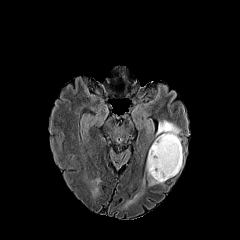
FLAIR MR.
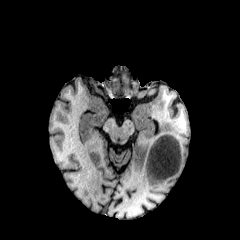
T1-weighted MR image.
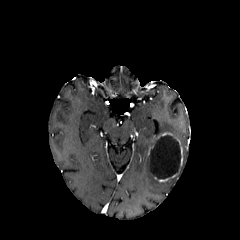
Post-contrast T1-weighted MR image.
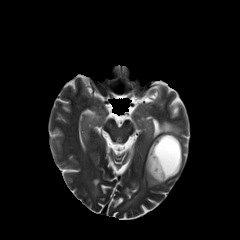
T2-weighted MRI of the same slice.
Axial view. 240x240 px.
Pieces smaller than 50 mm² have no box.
<segmentation>
  <enhancing_tumor>region(157, 132, 182, 168); region(154, 173, 177, 182)</enhancing_tumor>
  <peritumoral_edema>region(125, 194, 137, 205); region(157, 120, 180, 140); region(146, 157, 162, 185)</peritumoral_edema>
  <necrotic_tumor_core>region(148, 135, 180, 179)</necrotic_tumor_core>
</segmentation>